FLAIR MRI.
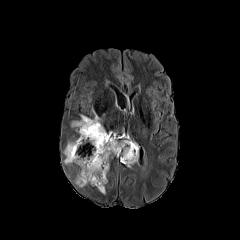
T1-weighted magnetic resonance.
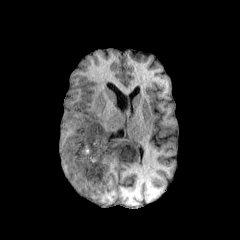
Post-contrast T1-weighted MRI.
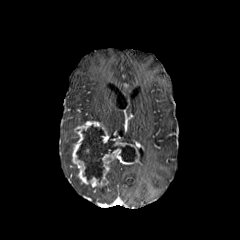
T2-weighted MR image.
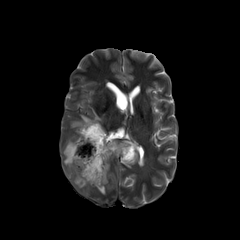
Image size 240x240
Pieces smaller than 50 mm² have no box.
The 4 largest peritumoral edema regions appear at box=[64, 141, 75, 164]; box=[74, 177, 85, 187]; box=[71, 109, 100, 127]; box=[121, 135, 134, 143]. The necrotic tumor core is bounded by box=[76, 125, 137, 181]. The enhancing tumor is at box=[71, 121, 138, 187].